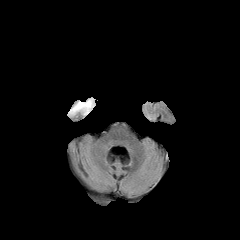
FLAIR MR.
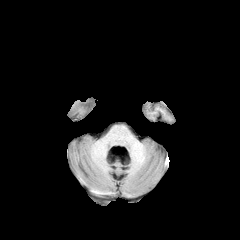
T1-weighted MR.
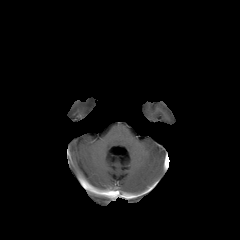
Post-contrast T1-weighted MRI.
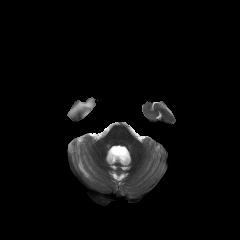
T2-weighted MRI.
Head; Axial view
peritumoral edema: 68, 98, 93, 115